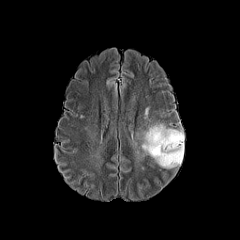
FLAIR MR.
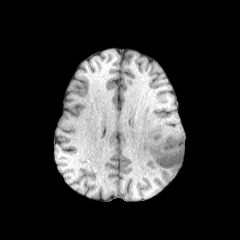
T1-weighted MRI.
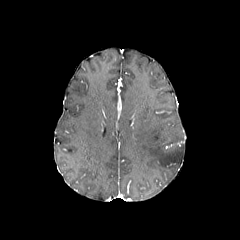
Post-contrast T1-weighted magnetic resonance.
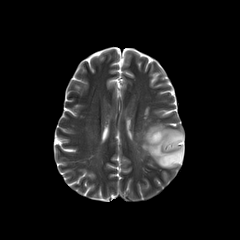
T2-weighted MRI of the same slice.
Head; Axial view; Image size 240x240
peritumoral edema: bounding box left=142, top=123, right=184, bottom=168